Slice 76/155 | Head | Axial plane
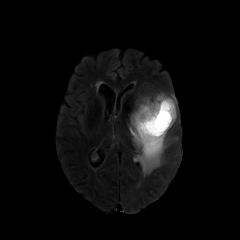
FLAIR MR.
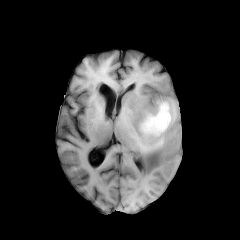
Same slice, T1-weighted MR.
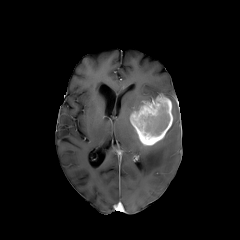
Post-contrast T1-weighted magnetic resonance.
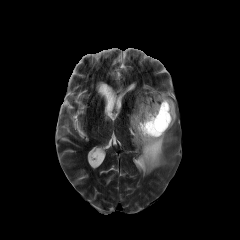
T2-weighted magnetic resonance.
* enhancing tumor: (x1=130, y1=94, x2=173, y2=145)
* necrotic tumor core: (x1=155, y1=107, x2=169, y2=133)
* peritumoral edema: (x1=129, y1=92, x2=177, y2=176)